Image size 240x240; Head; Axial plane
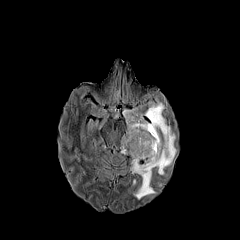
FLAIR MRI.
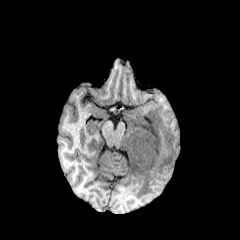
Same slice, T1-weighted MRI.
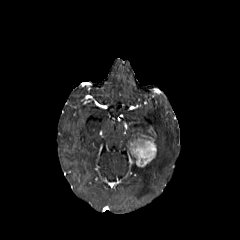
Same slice, post-contrast T1-weighted MR image.
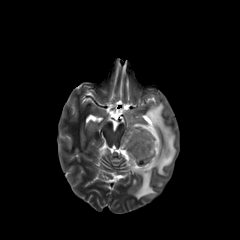
T2-weighted MR image of the same slice.
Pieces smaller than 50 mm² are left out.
{
  "enhancing_tumor": [
    "[128,133,156,166]"
  ],
  "peritumoral_edema": [
    "[122,102,176,199]"
  ]
}